240x240, Slice 66 of 155, Axial plane
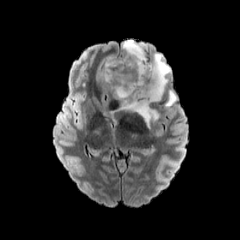
FLAIR magnetic resonance.
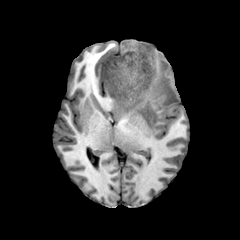
T1-weighted magnetic resonance of the same slice.
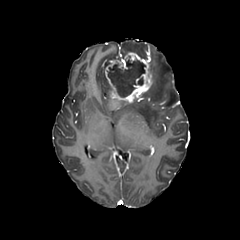
Post-contrast T1-weighted MR image.
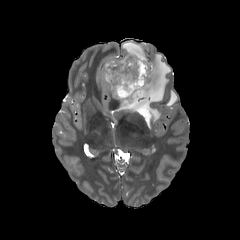
T2-weighted MRI of the same slice.
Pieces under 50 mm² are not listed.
necrotic tumor core: bounding box bbox(108, 59, 145, 96)
peritumoral edema: bounding box bbox(117, 53, 170, 127); bbox(122, 40, 147, 57); bbox(165, 90, 177, 106); bbox(102, 56, 115, 91)
enhancing tumor: bounding box bbox(104, 52, 152, 108)